FLAIR MRI.
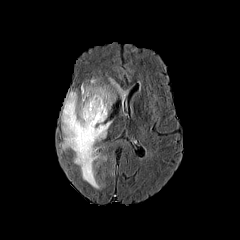
T1-weighted magnetic resonance.
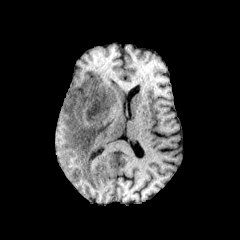
Post-contrast T1-weighted magnetic resonance.
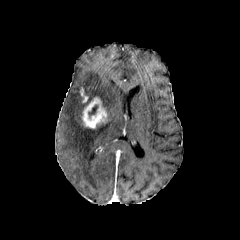
T2-weighted MRI.
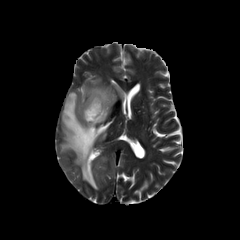
240x240 px, Brain
peritumoral edema = 61:78:127:189
enhancing tumor = 81:97:107:128
necrotic tumor core = 88:105:97:115